FLAIR MR.
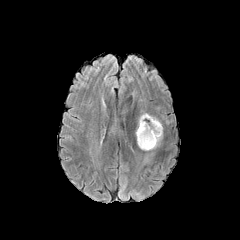
T1-weighted magnetic resonance.
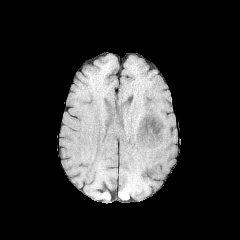
Post-contrast T1-weighted MRI.
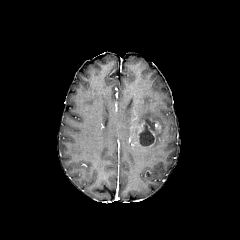
T2-weighted MRI.
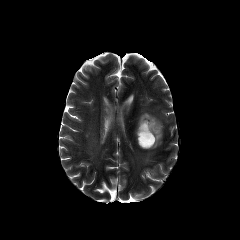
240x240 px. Axial view. Brain.
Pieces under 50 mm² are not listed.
{"necrotic_tumor_core": ["[x1=139, y1=120, x2=156, y2=146]"], "enhancing_tumor": ["[x1=137, y1=119, x2=160, y2=147]"], "peritumoral_edema": ["[x1=138, y1=113, x2=162, y2=150]"]}